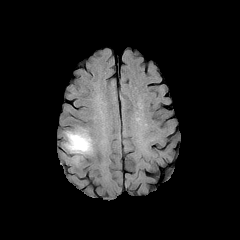
FLAIR MRI.
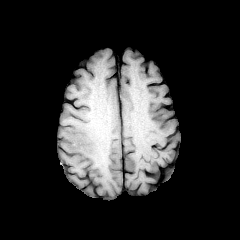
T1-weighted MR of the same slice.
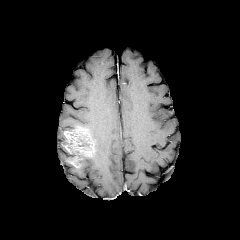
Post-contrast T1-weighted MRI of the same slice.
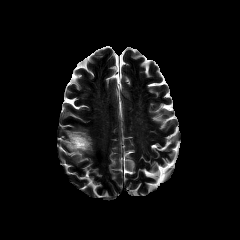
Same slice, T2-weighted MR.
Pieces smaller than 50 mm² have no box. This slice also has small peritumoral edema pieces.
{
  "necrotic_tumor_core": [
    "left=78, top=139, right=89, bottom=147"
  ],
  "enhancing_tumor": [
    "left=64, top=127, right=94, bottom=158"
  ]
}